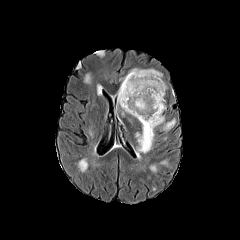
FLAIR magnetic resonance.
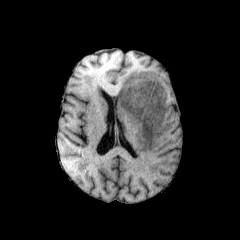
Same slice, T1-weighted MRI.
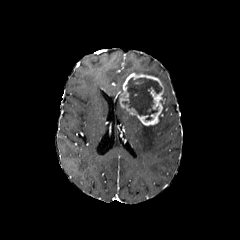
Post-contrast T1-weighted MR image.
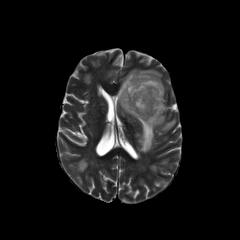
T2-weighted magnetic resonance.
240x240. Axial view. Brain.
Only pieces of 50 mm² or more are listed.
{"enhancing_tumor": ["(119, 73, 164, 125)"], "peritumoral_edema": ["(119, 68, 166, 98)", "(135, 115, 175, 154)"], "necrotic_tumor_core": ["(127, 78, 161, 119)"]}